Slice index 101
FLAIR MRI.
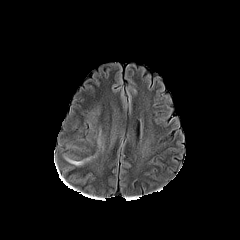
T1-weighted MRI.
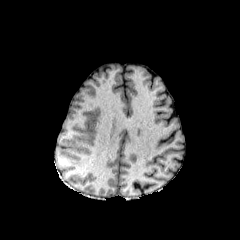
Post-contrast T1-weighted MR image.
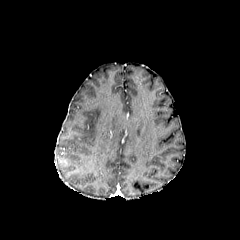
T2-weighted MR.
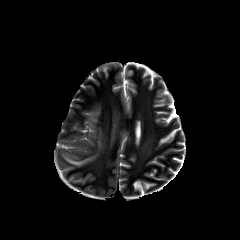
Segmented structures:
- peritumoral edema: 61 129 101 165